Head | Image width 240 mm
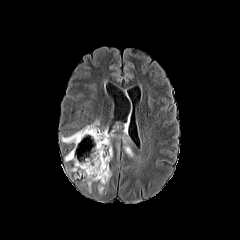
FLAIR MR.
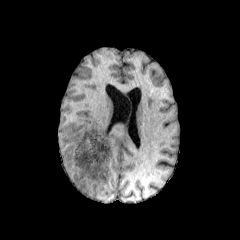
T1-weighted MR.
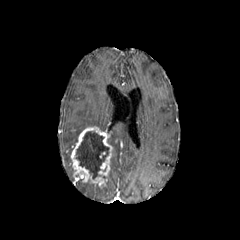
Same slice, post-contrast T1-weighted magnetic resonance.
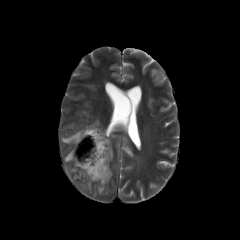
Same slice, T2-weighted MR.
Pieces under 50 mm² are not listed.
<segmentation>
  <enhancing_tumor>[x1=70, y1=126, x2=112, y2=187]</enhancing_tumor>
  <necrotic_tumor_core>[x1=76, y1=131, x2=108, y2=179]</necrotic_tumor_core>
  <peritumoral_edema>[x1=123, y1=136, x2=133, y2=157], [x1=61, y1=128, x2=84, y2=143], [x1=85, y1=120, x2=99, y2=127]</peritumoral_edema>
</segmentation>